FLAIR MR image.
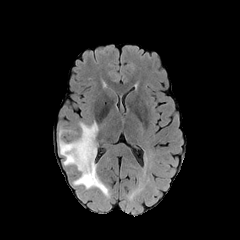
T1-weighted MR.
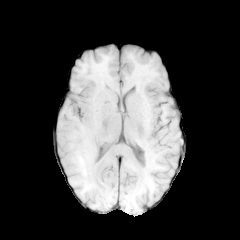
Post-contrast T1-weighted MR.
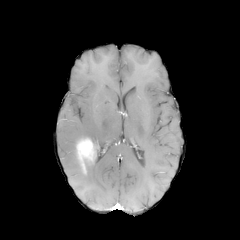
T2-weighted MR image.
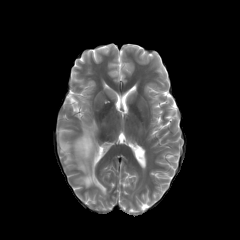
Head. Image size 240x240.
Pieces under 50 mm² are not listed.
The enhancing tumor is bounded by <bbox>76, 138, 95, 172</bbox>. The largest peritumoral edema region appears at <bbox>58, 120, 109, 196</bbox>.